FLAIR MRI.
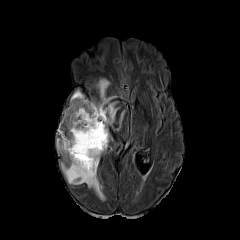
T1-weighted MR.
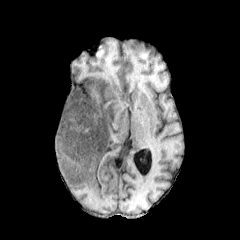
Post-contrast T1-weighted MR.
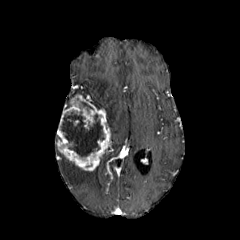
T2-weighted MR image.
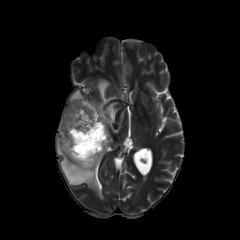
Image size 240x240
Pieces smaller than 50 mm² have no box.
{
  "enhancing_tumor": [
    "56 94 110 170"
  ],
  "peritumoral_edema": [
    "90 78 118 125",
    "57 148 104 199"
  ],
  "necrotic_tumor_core": [
    "61 111 104 157"
  ]
}